240x240 px | Slice index 117
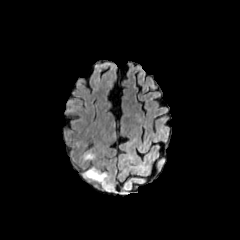
FLAIR MR image.
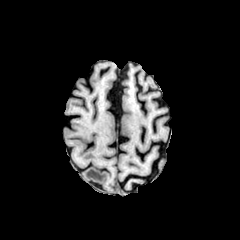
T1-weighted MR.
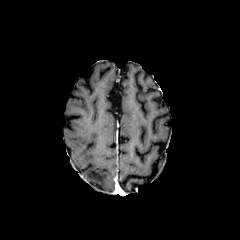
Post-contrast T1-weighted magnetic resonance of the same slice.
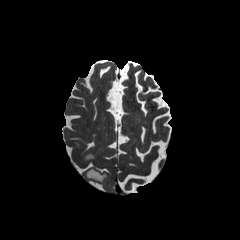
T2-weighted MRI.
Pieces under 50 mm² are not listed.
Segmented structures:
* peritumoral edema: box(85, 167, 106, 181)